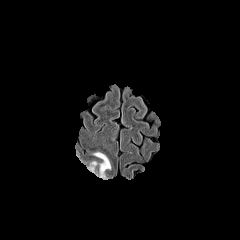
FLAIR MRI.
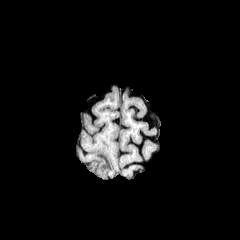
T1-weighted MR image of the same slice.
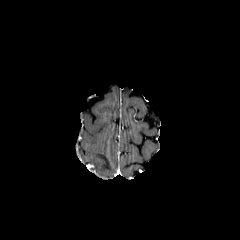
Same slice, post-contrast T1-weighted magnetic resonance.
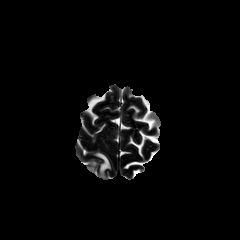
T2-weighted MR.
Axial plane
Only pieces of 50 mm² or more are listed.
{
  "peritumoral_edema": [
    "box(94, 152, 110, 177)"
  ]
}